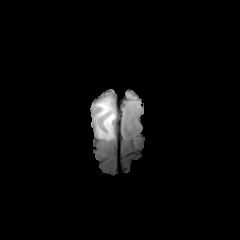
FLAIR MRI.
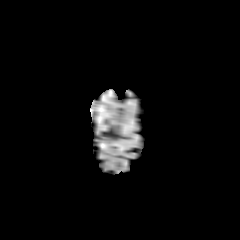
T1-weighted MR image of the same slice.
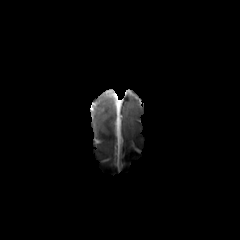
Post-contrast T1-weighted magnetic resonance.
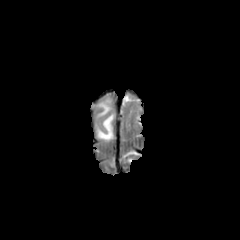
T2-weighted MR.
Head. Image size 240x240. Axial plane.
peritumoral edema = 95 96 115 141